Image size 240x240; Axial plane; Slice 105 of 155
FLAIR magnetic resonance.
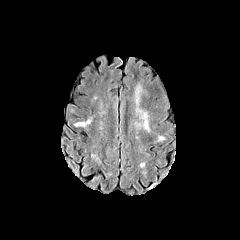
T1-weighted MRI.
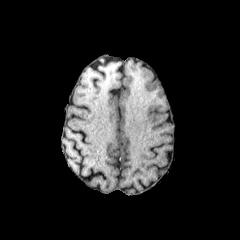
Post-contrast T1-weighted MR.
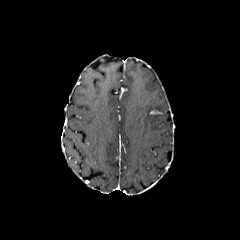
T2-weighted MR.
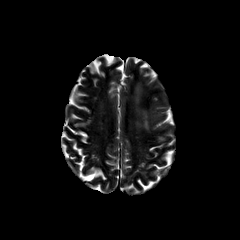
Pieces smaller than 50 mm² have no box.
The 2 largest peritumoral edema regions appear at bbox=[142, 112, 148, 130]; bbox=[135, 85, 141, 104].